Brain
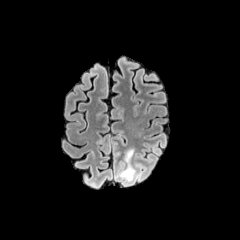
FLAIR MR image.
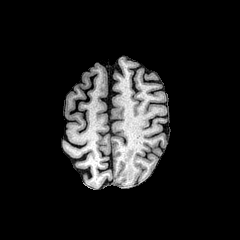
Same slice, T1-weighted MR image.
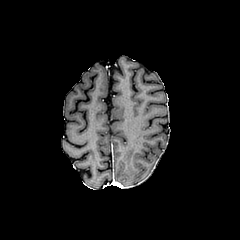
Post-contrast T1-weighted MR image of the same slice.
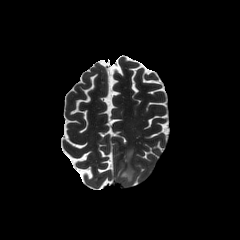
Same slice, T2-weighted MR.
peritumoral_edema:
  - 119, 150, 135, 182